FLAIR MRI.
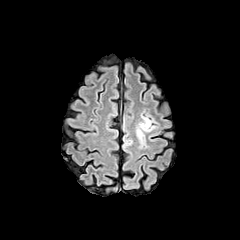
T1-weighted MR.
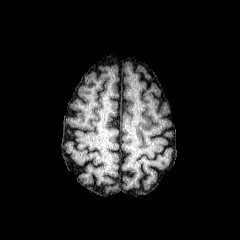
Post-contrast T1-weighted MR.
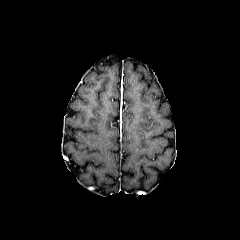
T2-weighted magnetic resonance.
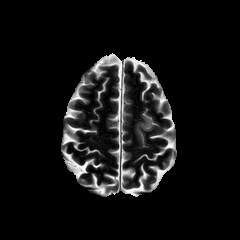
Axial view
peritumoral edema at <box>136,115,155,147</box>